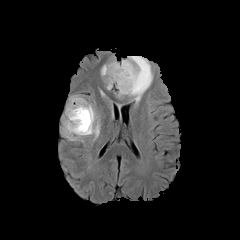
FLAIR MR image.
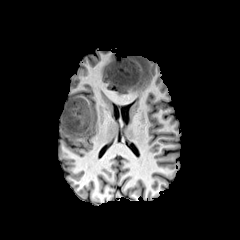
T1-weighted MRI.
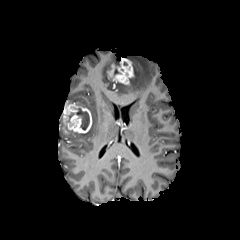
Post-contrast T1-weighted MR.
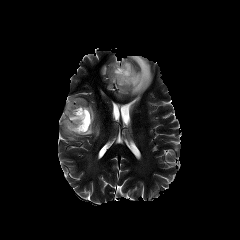
T2-weighted MR image.
Head, Axial slice
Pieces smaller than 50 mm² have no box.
enhancing_tumor:
  - region(107, 58, 133, 84)
  - region(63, 101, 92, 133)
necrotic_tumor_core:
  - region(76, 108, 89, 130)
peritumoral_edema:
  - region(62, 96, 99, 140)
  - region(101, 58, 119, 90)
  - region(116, 56, 153, 103)